FLAIR magnetic resonance.
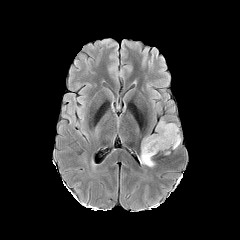
T1-weighted MR.
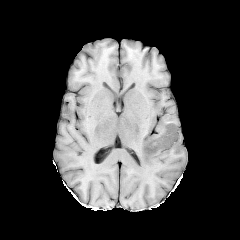
Post-contrast T1-weighted magnetic resonance.
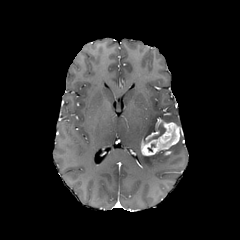
T2-weighted MRI.
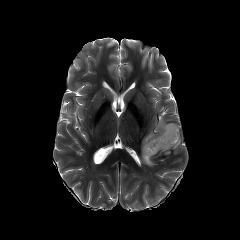
Brain | Axial plane | 240x240
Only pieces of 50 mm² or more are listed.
enhancing tumor: bbox(141, 120, 180, 155)
necrotic tumor core: bbox(148, 123, 165, 141)
peritumoral edema: bbox(140, 152, 154, 166)